Slice 42 of 155. Axial view. Image size 240x240.
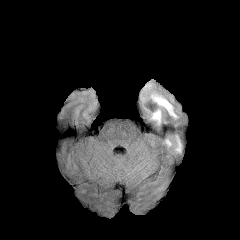
FLAIR MR.
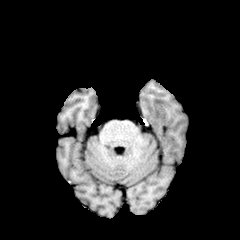
Same slice, T1-weighted MR image.
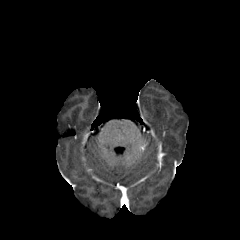
Post-contrast T1-weighted MR image.
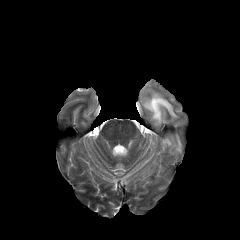
T2-weighted MR image of the same slice.
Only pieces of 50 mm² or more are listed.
peritumoral edema: {"x1": 175, "y1": 136, "x2": 181, "y2": 152}, {"x1": 151, "y1": 93, "x2": 178, "y2": 124}